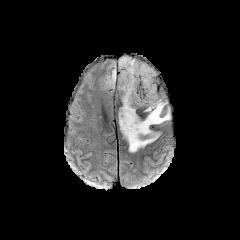
FLAIR MR.
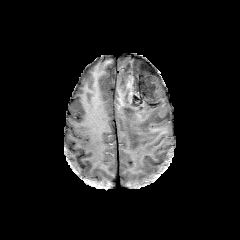
Same slice, T1-weighted MRI.
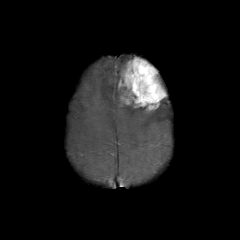
Post-contrast T1-weighted magnetic resonance.
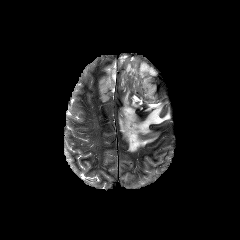
Same slice, T2-weighted MRI.
Head
Annotated regions:
• enhancing tumor: [118,57,166,111]
• peritumoral edema: [99,53,151,102], [119,100,170,151]